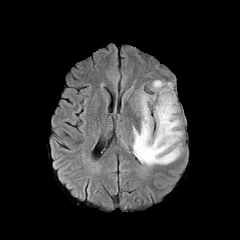
FLAIR MR image.
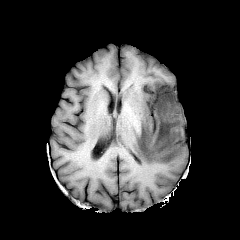
T1-weighted MRI.
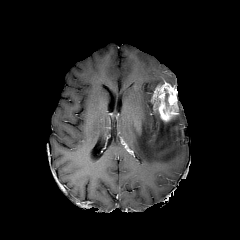
Post-contrast T1-weighted MRI.
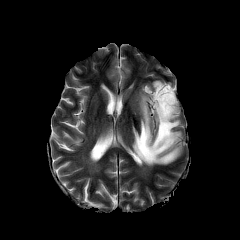
T2-weighted MR.
Brain. Axial slice.
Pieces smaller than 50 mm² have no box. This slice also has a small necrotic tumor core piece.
<segmentation>
  <enhancing_tumor>bbox(151, 81, 178, 122)</enhancing_tumor>
  <peritumoral_edema>bbox(132, 93, 182, 165); bbox(152, 80, 163, 90)</peritumoral_edema>
</segmentation>